Axial slice. Head.
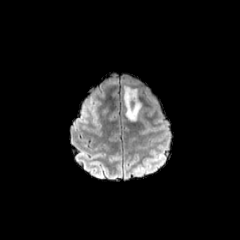
FLAIR MR.
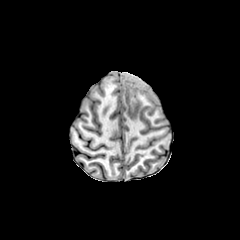
T1-weighted MR image.
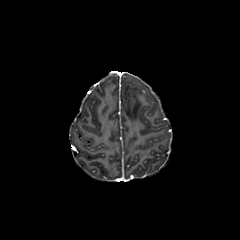
Post-contrast T1-weighted magnetic resonance.
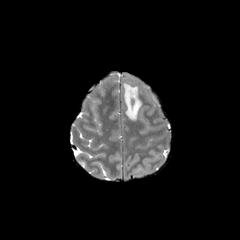
T2-weighted magnetic resonance.
Annotated regions:
• peritumoral edema: left=124, top=85, right=141, bottom=120